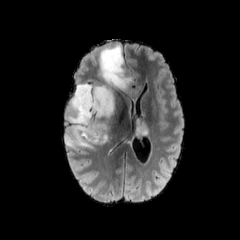
FLAIR MRI.
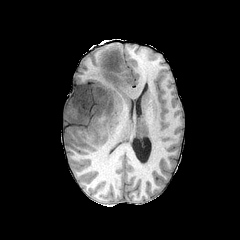
Same slice, T1-weighted magnetic resonance.
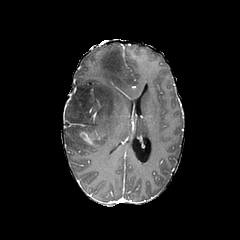
Post-contrast T1-weighted MR.
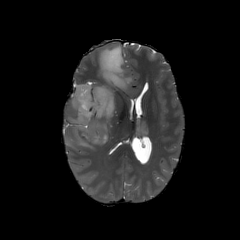
T2-weighted MR image.
Head.
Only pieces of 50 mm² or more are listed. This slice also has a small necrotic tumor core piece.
peritumoral_edema:
  - (left=64, top=44, right=143, bottom=151)
  - (left=134, top=118, right=149, bottom=138)
enhancing_tumor:
  - (left=79, top=132, right=106, bottom=147)